Axial plane
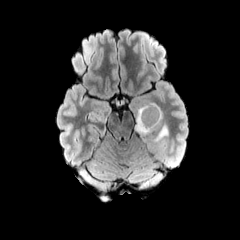
FLAIR MRI.
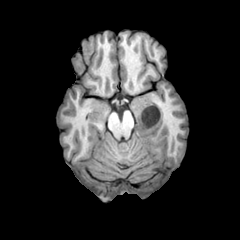
T1-weighted magnetic resonance of the same slice.
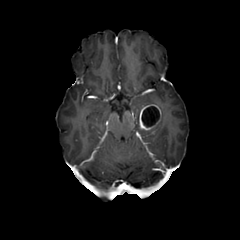
Post-contrast T1-weighted MR.
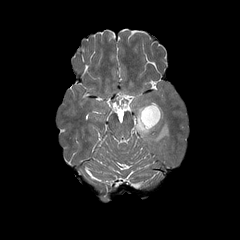
T2-weighted MR image.
The necrotic tumor core is located at 141,106,159,127. The enhancing tumor is at 139,104,161,131. The peritumoral edema is located at 135,101,168,143.